FLAIR MR.
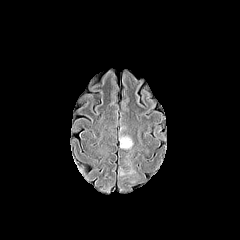
T1-weighted MR image.
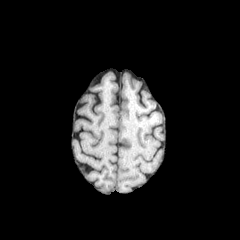
Post-contrast T1-weighted MRI.
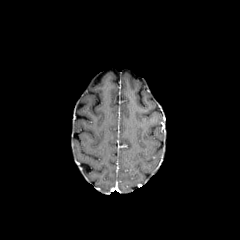
T2-weighted MR.
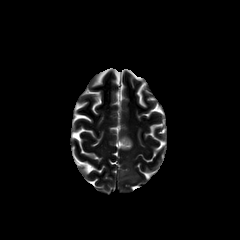
Head.
peritumoral edema: 119:170:134:175, 119:136:132:149